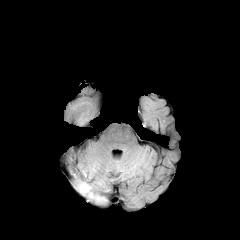
FLAIR MR image.
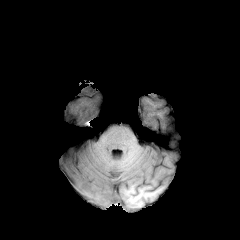
T1-weighted MR.
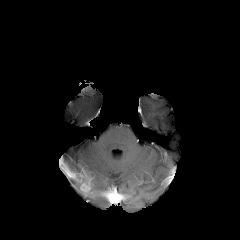
Same slice, post-contrast T1-weighted magnetic resonance.
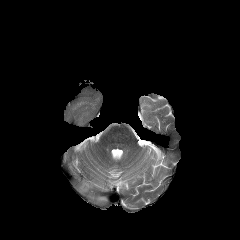
T2-weighted MR image of the same slice.
Brain | Axial view
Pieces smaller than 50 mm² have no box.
<segmentation>
  <peritumoral_edema>(78,183,105,202)</peritumoral_edema>
  <enhancing_tumor>(70,172,91,192)</enhancing_tumor>
</segmentation>